Slice 118/155 | Head
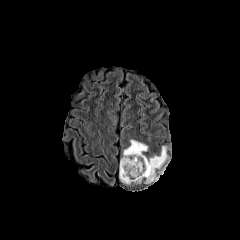
FLAIR MR image.
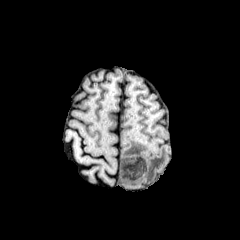
T1-weighted MR.
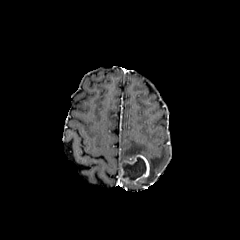
Post-contrast T1-weighted magnetic resonance.
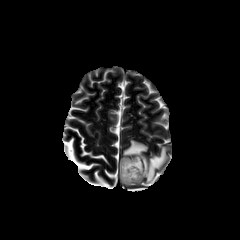
T2-weighted MR image of the same slice.
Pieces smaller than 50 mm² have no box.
necrotic tumor core: l=122, t=157, r=146, b=181 | enhancing tumor: l=119, t=154, r=149, b=184 | peritumoral edema: l=120, t=139, r=147, b=162; l=145, t=146, r=168, b=183